Image width 240 mm. Slice 78/155.
FLAIR MR.
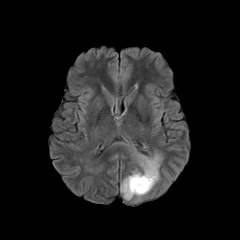
T1-weighted MR image.
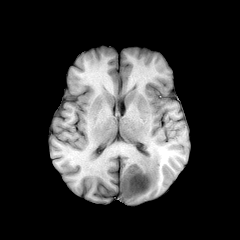
Post-contrast T1-weighted MR image.
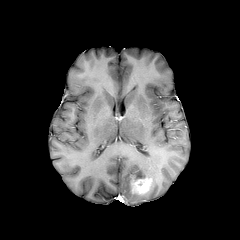
T2-weighted MRI.
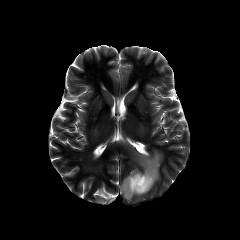
<segmentation>
  <peritumoral_edema><box>120,152,162,200</box></peritumoral_edema>
  <enhancing_tumor><box>130,176,152,194</box></enhancing_tumor>
</segmentation>